FLAIR MR image.
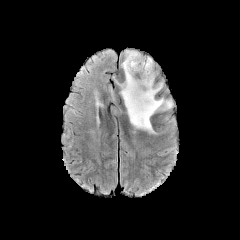
T1-weighted magnetic resonance.
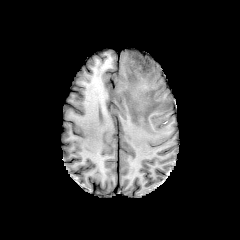
Post-contrast T1-weighted MR image.
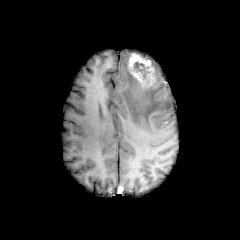
T2-weighted magnetic resonance.
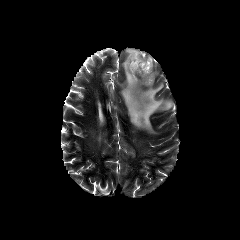
240x240 px
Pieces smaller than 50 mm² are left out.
The largest peritumoral edema region lies within rect(108, 49, 173, 133). The necrotic tumor core lies within rect(134, 62, 148, 79). The largest enhancing tumor region appears at rect(127, 53, 154, 85).